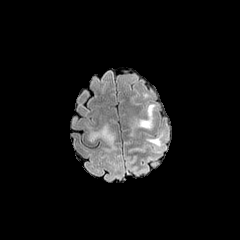
FLAIR MRI.
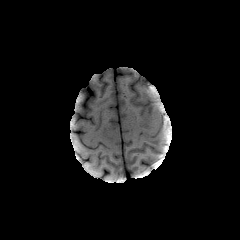
T1-weighted MRI.
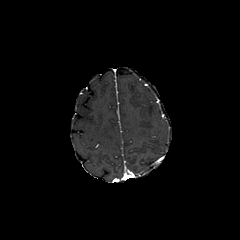
Post-contrast T1-weighted magnetic resonance of the same slice.
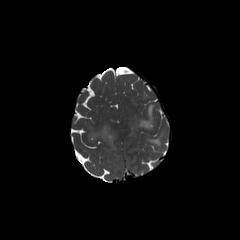
T2-weighted MR image of the same slice.
Brain
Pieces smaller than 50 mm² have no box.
The 3 largest peritumoral edema regions are bounded by x1=135 y1=104 x2=155 y2=129, x1=147 y1=132 x2=163 y2=147, x1=90 y1=125 x2=114 y2=144.